Slice 116/155 | 240x240 px | Axial slice | Brain
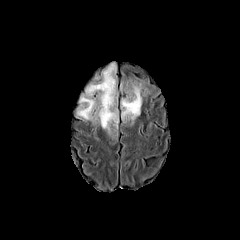
FLAIR MRI.
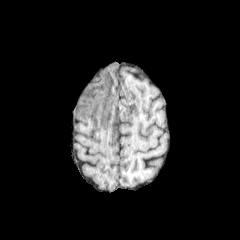
T1-weighted MR.
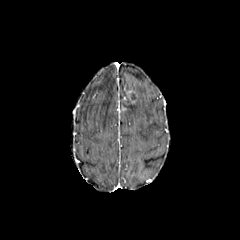
Post-contrast T1-weighted MR.
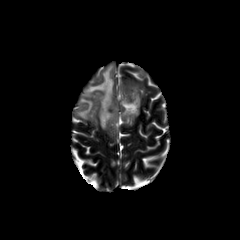
T2-weighted magnetic resonance.
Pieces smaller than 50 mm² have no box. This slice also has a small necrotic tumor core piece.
The enhancing tumor is bounded by 124,87,135,102. The 2 largest peritumoral edema regions are bounded by 121,84,141,121; 77,63,117,133.